Slice 132/155. 240x240. Axial plane. Brain.
FLAIR MR image.
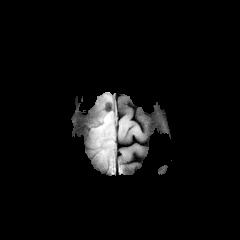
T1-weighted magnetic resonance.
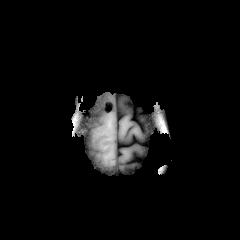
Post-contrast T1-weighted MRI.
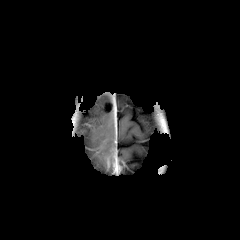
T2-weighted MRI.
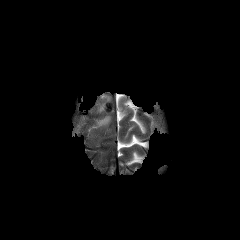
peritumoral_edema:
  - 87:93:115:127